Axial slice | Image width 240 mm
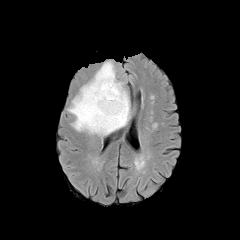
FLAIR MR image.
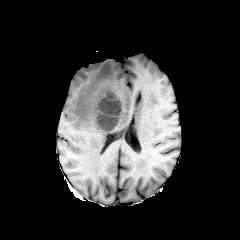
T1-weighted magnetic resonance.
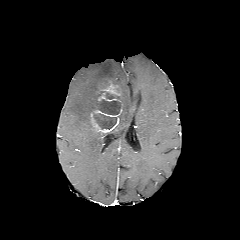
Post-contrast T1-weighted MR of the same slice.
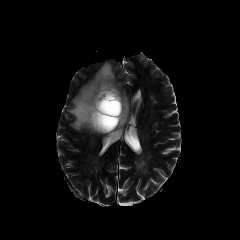
T2-weighted MR.
The enhancing tumor is at (90, 84, 122, 133). 3 necrotic tumor core regions are located at (93, 113, 116, 129), (104, 91, 116, 99), (99, 99, 120, 114). The peritumoral edema is bounded by (67, 61, 130, 136).